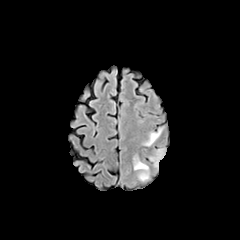
FLAIR MRI.
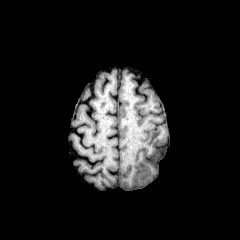
T1-weighted magnetic resonance.
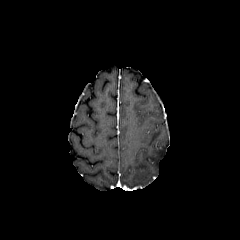
Post-contrast T1-weighted MR of the same slice.
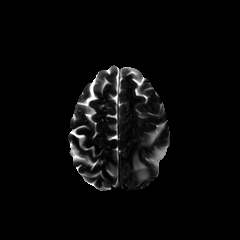
T2-weighted magnetic resonance of the same slice.
Axial slice | Head | Image size 240x240
- peritumoral edema: left=151, top=149, right=164, bottom=166; left=134, top=158, right=148, bottom=180; left=145, top=128, right=162, bottom=145